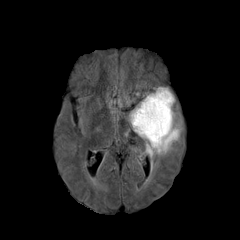
FLAIR MRI.
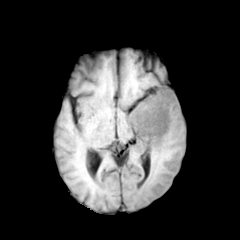
Same slice, T1-weighted MR.
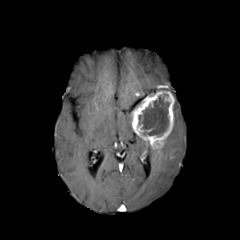
Post-contrast T1-weighted MRI.
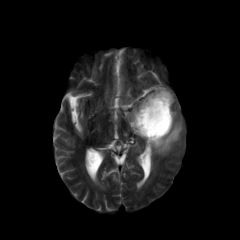
T2-weighted magnetic resonance of the same slice.
Head, 240x240 px, Axial view
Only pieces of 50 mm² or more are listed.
necrotic tumor core at box=[138, 94, 169, 136]
peritumoral edema at box=[145, 112, 182, 158]
enhancing tumor at box=[131, 90, 174, 148]